Slice 85/155; Brain; Image covers 240 mm x 240 mm; Axial plane
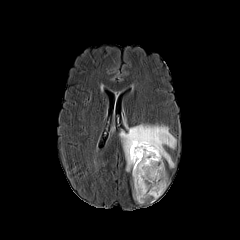
FLAIR magnetic resonance.
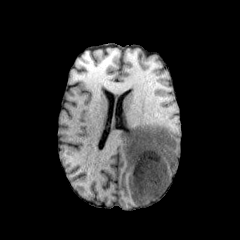
T1-weighted MRI.
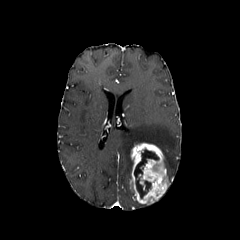
Post-contrast T1-weighted magnetic resonance.
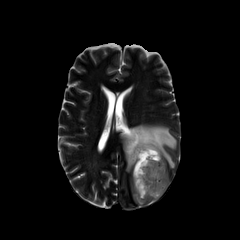
T2-weighted MRI of the same slice.
The necrotic tumor core is located at {"x1": 134, "y1": 149, "x2": 158, "y2": 198}. The peritumoral edema is at {"x1": 120, "y1": 124, "x2": 176, "y2": 171}. The enhancing tumor is located at {"x1": 130, "y1": 142, "x2": 169, "y2": 204}.